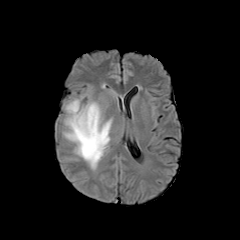
FLAIR magnetic resonance.
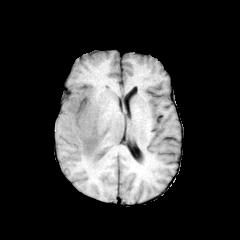
Same slice, T1-weighted MR.
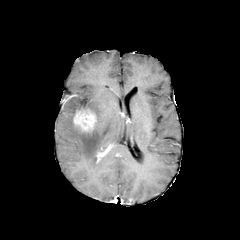
Same slice, post-contrast T1-weighted magnetic resonance.
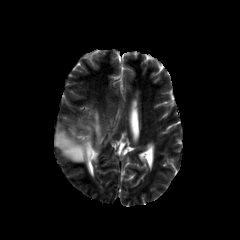
T2-weighted MR.
Head.
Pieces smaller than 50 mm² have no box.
{"enhancing_tumor": ["(73, 109, 96, 131)"], "peritumoral_edema": ["(62, 99, 112, 170)"]}